FLAIR MRI.
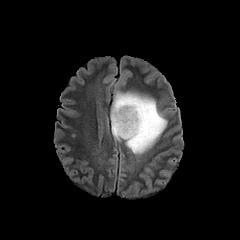
T1-weighted MR image.
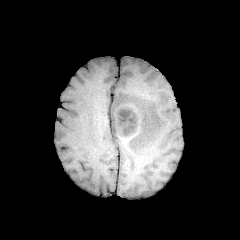
Post-contrast T1-weighted MR.
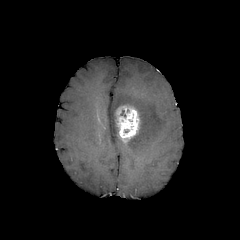
T2-weighted MR image.
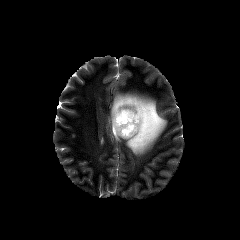
Axial slice; Brain
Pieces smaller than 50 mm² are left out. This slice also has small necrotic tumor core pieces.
enhancing tumor: region(114, 105, 140, 140) | peritumoral edema: region(110, 91, 167, 155)